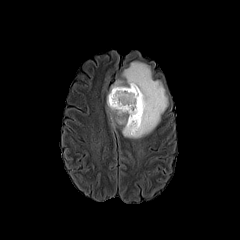
FLAIR magnetic resonance.
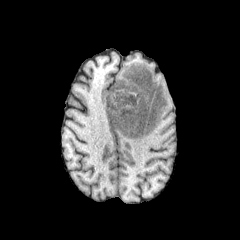
T1-weighted MRI.
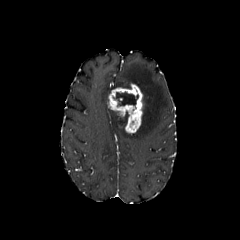
Post-contrast T1-weighted MRI.
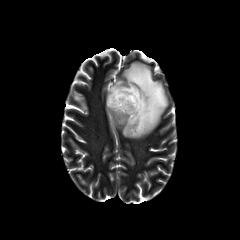
T2-weighted MR.
Axial slice; Head; 240x240
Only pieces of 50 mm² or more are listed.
{"necrotic_tumor_core": ["(left=113, top=92, right=138, bottom=106)"], "enhancing_tumor": ["(left=107, top=83, right=142, bottom=133)"], "peritumoral_edema": ["(left=107, top=108, right=127, bottom=125)", "(left=111, top=60, right=168, bottom=138)"]}